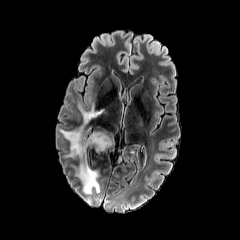
FLAIR MR.
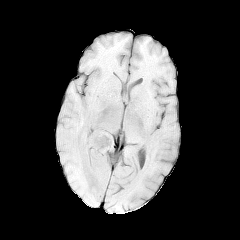
Same slice, T1-weighted MR.
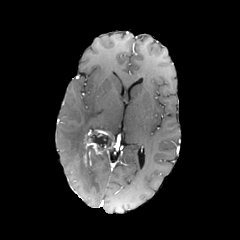
Post-contrast T1-weighted MR image.
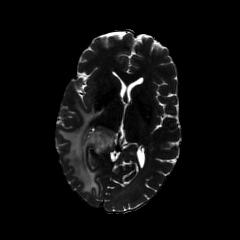
T2-weighted MR image.
Image size 240x240 | Brain | Axial view
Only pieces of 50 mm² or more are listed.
enhancing tumor: region(84, 129, 114, 154) | necrotic tumor core: region(88, 133, 111, 148) | peritumoral edema: region(60, 105, 103, 193)